FLAIR magnetic resonance.
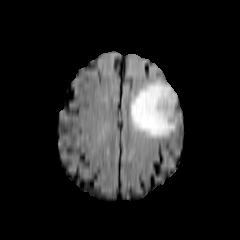
T1-weighted MRI.
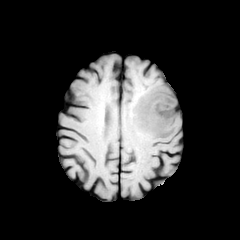
Post-contrast T1-weighted MRI.
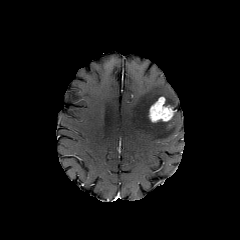
T2-weighted MRI.
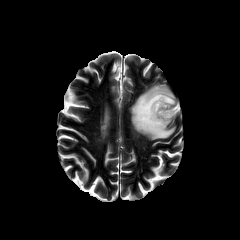
Axial slice.
The enhancing tumor is located at bbox(148, 96, 175, 122). The peritumoral edema is at bbox(130, 81, 176, 138).